FLAIR MR.
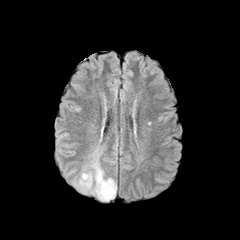
T1-weighted magnetic resonance.
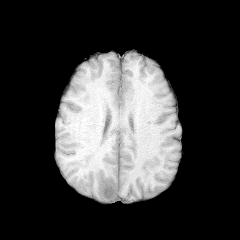
Post-contrast T1-weighted magnetic resonance.
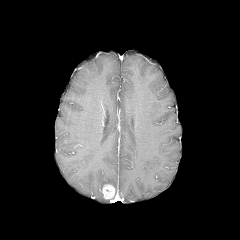
T2-weighted MR.
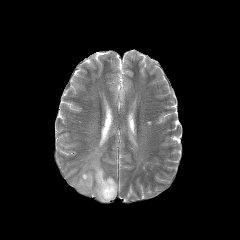
Axial plane; Brain
{
  "peritumoral_edema": [
    "rect(72, 148, 117, 201)"
  ],
  "enhancing_tumor": [
    "rect(100, 184, 115, 199)"
  ]
}